240x240; Axial view
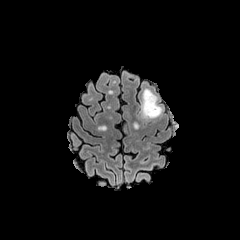
FLAIR MRI.
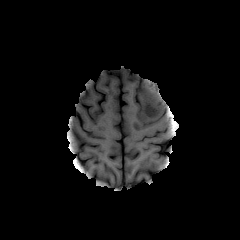
T1-weighted MR image.
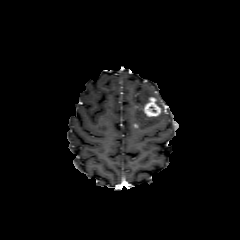
Post-contrast T1-weighted MR of the same slice.
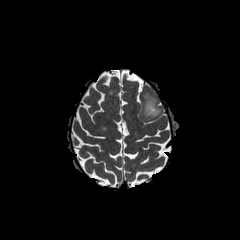
T2-weighted magnetic resonance.
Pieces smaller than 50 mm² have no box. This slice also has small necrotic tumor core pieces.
enhancing tumor at 144 97 160 116
peritumoral edema at 140 89 157 118